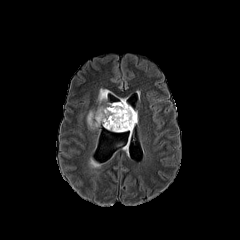
FLAIR MRI.
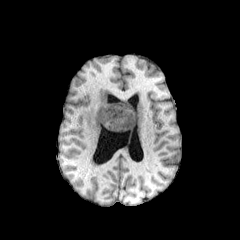
T1-weighted MRI.
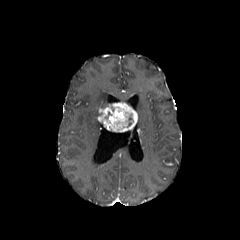
Post-contrast T1-weighted magnetic resonance of the same slice.
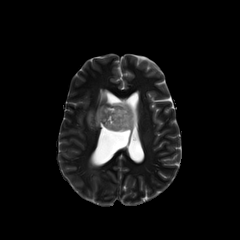
T2-weighted MR.
Axial slice | 240x240 px
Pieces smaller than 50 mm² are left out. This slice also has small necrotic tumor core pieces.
The enhancing tumor lies within [x1=97, y1=102, x2=137, y2=132]. The 2 largest peritumoral edema regions are located at [x1=87, y1=110, x2=99, y2=129], [x1=98, y1=89, x2=109, y2=103].